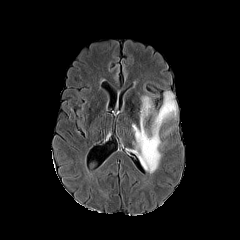
FLAIR MR.
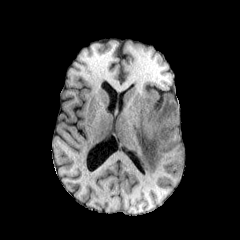
T1-weighted MRI.
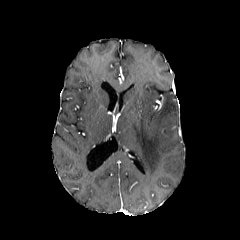
Post-contrast T1-weighted magnetic resonance.
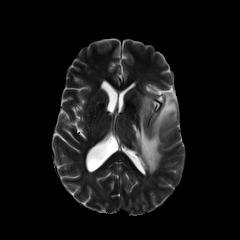
T2-weighted MR image.
Brain
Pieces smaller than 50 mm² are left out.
{
  "peritumoral_edema": [
    "l=132, t=91, r=177, b=173"
  ]
}